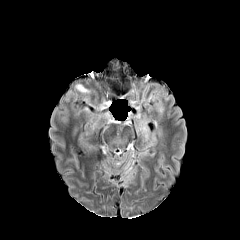
FLAIR MR image.
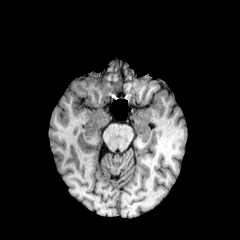
T1-weighted magnetic resonance.
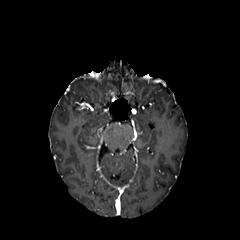
Same slice, post-contrast T1-weighted MR.
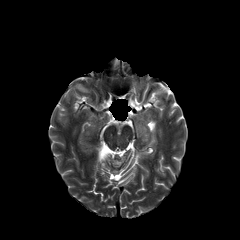
T2-weighted MR image.
Axial plane; Head
- peritumoral edema: bbox(76, 84, 88, 92)